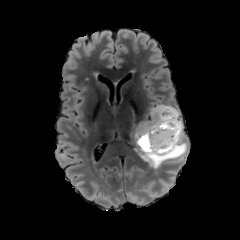
FLAIR magnetic resonance.
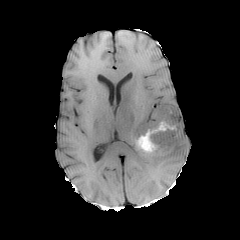
T1-weighted MR.
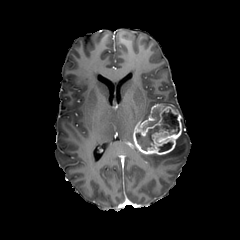
Post-contrast T1-weighted magnetic resonance.
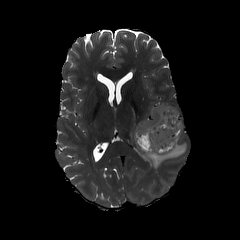
T2-weighted MRI.
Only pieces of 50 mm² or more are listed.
<segmentation>
  <enhancing_tumor>[x1=133, y1=104, x2=182, y2=155]</enhancing_tumor>
  <peritumoral_edema>[x1=137, y1=132, x2=187, y2=169]</peritumoral_edema>
  <necrotic_tumor_core>[x1=158, y1=142, x2=172, y2=152], [x1=136, y1=111, x2=179, y2=150], [x1=148, y1=108, x2=160, y2=126]</necrotic_tumor_core>
</segmentation>